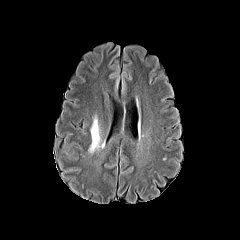
FLAIR MRI.
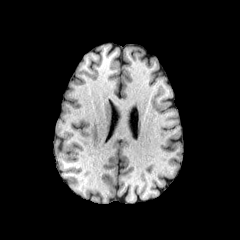
T1-weighted MRI.
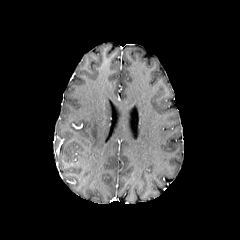
Same slice, post-contrast T1-weighted MR image.
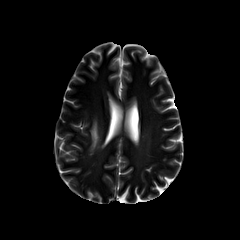
T2-weighted MR.
Brain, Axial slice
The peritumoral edema is located at <bbox>89, 117, 104, 152</bbox>.